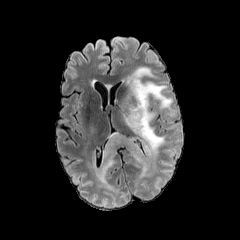
FLAIR magnetic resonance.
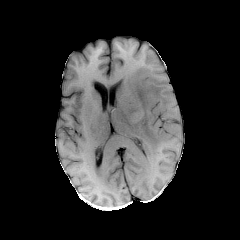
T1-weighted MR image of the same slice.
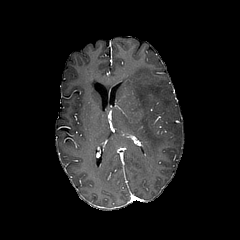
Post-contrast T1-weighted MR.
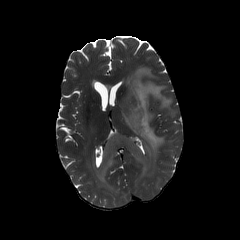
T2-weighted MR image.
Axial slice; Brain
Segmented structures:
- peritumoral edema: region(99, 134, 145, 178); region(121, 66, 174, 157)